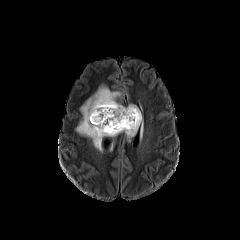
FLAIR MR image.
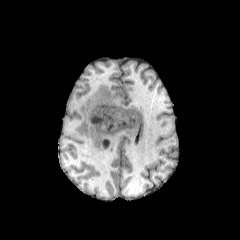
Same slice, T1-weighted MRI.
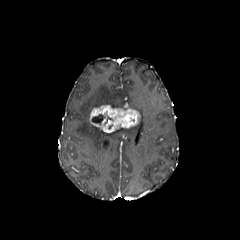
Post-contrast T1-weighted MR.
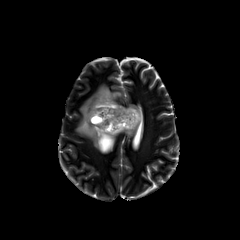
T2-weighted MRI.
Axial slice
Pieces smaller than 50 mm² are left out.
necrotic tumor core at l=92, t=114, r=104, b=124
peritumoral edema at l=76, t=85, r=143, b=151
enhancing tumor at l=89, t=105, r=140, b=132